FLAIR MR.
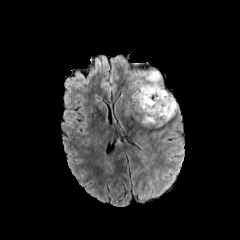
T1-weighted magnetic resonance.
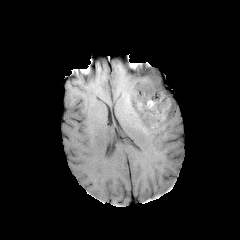
Post-contrast T1-weighted MR image.
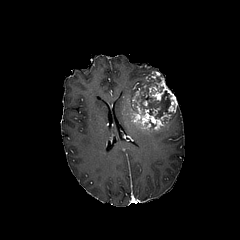
T2-weighted MRI.
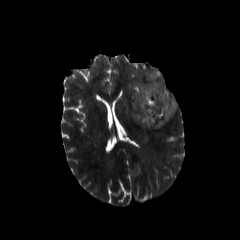
Brain.
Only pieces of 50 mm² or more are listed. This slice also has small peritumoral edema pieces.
Findings:
* enhancing tumor: (left=149, top=82, right=165, bottom=100), (left=131, top=71, right=176, bottom=129)
* necrotic tumor core: (left=150, top=75, right=163, bottom=87), (left=135, top=86, right=173, bottom=118)